FLAIR MRI.
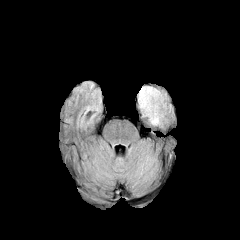
T1-weighted MR.
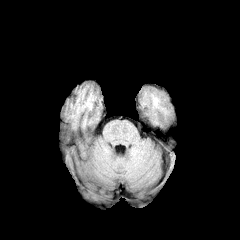
Post-contrast T1-weighted MRI.
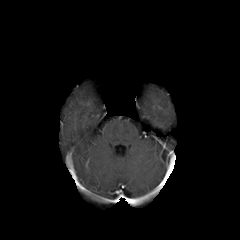
T2-weighted MRI.
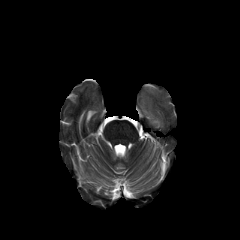
- peritumoral edema: [137, 86, 164, 123]